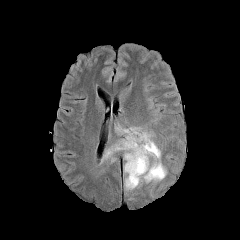
FLAIR MR.
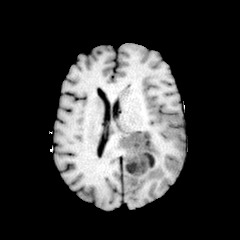
T1-weighted magnetic resonance of the same slice.
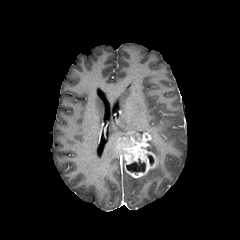
Same slice, post-contrast T1-weighted magnetic resonance.
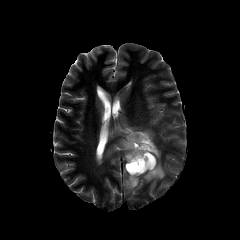
T2-weighted MRI of the same slice.
Brain. 240x240.
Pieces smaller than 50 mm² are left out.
Segmented structures:
- peritumoral edema: 116:127:140:136, 125:140:165:189, 104:145:117:158
- necrotic tumor core: 147:154:154:165, 126:158:145:173
- enhancing tumor: 116:132:156:177